FLAIR MR.
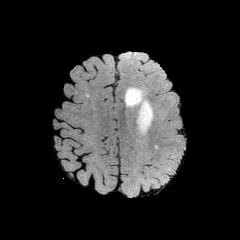
T1-weighted MR image.
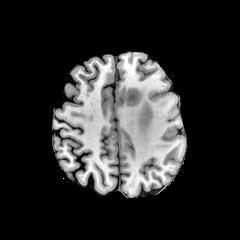
Post-contrast T1-weighted MR image.
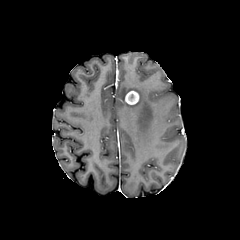
T2-weighted MR image.
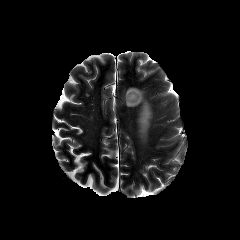
Brain
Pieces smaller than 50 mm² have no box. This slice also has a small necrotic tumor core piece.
The peritumoral edema appears at <bbox>125, 87, 153, 136</bbox>. The enhancing tumor is at <bbox>125, 91, 139, 104</bbox>.